FLAIR MRI.
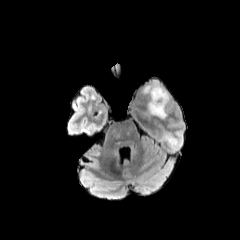
T1-weighted MR.
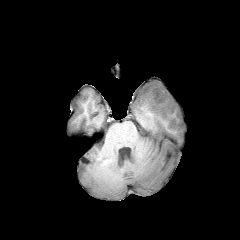
Post-contrast T1-weighted MRI.
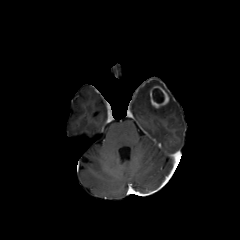
T2-weighted magnetic resonance.
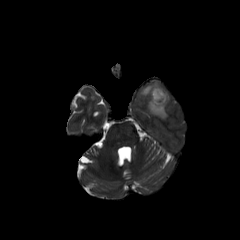
Axial plane | Head
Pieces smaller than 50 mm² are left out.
• necrotic tumor core: 152:88:164:103
• enhancing tumor: 149:85:169:108
• peritumoral edema: 141:80:171:118